240x240 px
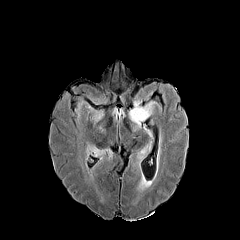
FLAIR MR.
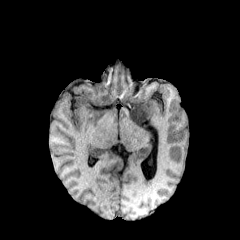
T1-weighted MRI of the same slice.
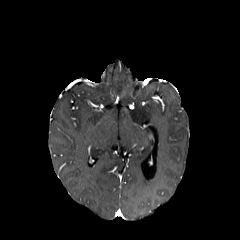
Post-contrast T1-weighted magnetic resonance.
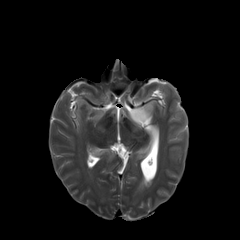
Same slice, T2-weighted MRI.
peritumoral edema at 129,99,155,124; 138,145,149,158; 86,143,111,160